Head | Axial plane
FLAIR MR.
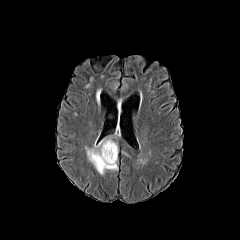
T1-weighted MR.
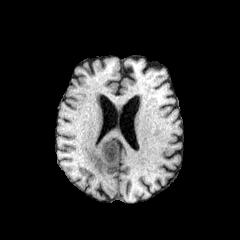
Post-contrast T1-weighted magnetic resonance.
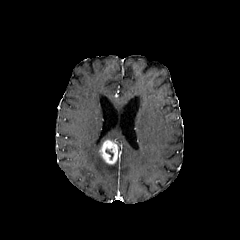
T2-weighted MR.
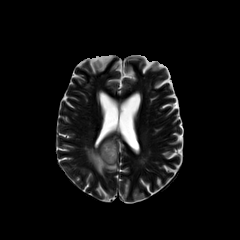
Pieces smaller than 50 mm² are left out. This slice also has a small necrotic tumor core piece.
The largest peritumoral edema region is bounded by 85:136:118:175. The enhancing tumor is bounded by 99:139:117:164.